Head, Axial view, Slice 91 of 155
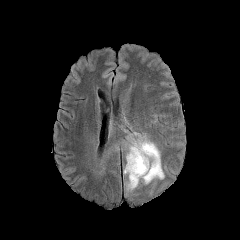
FLAIR MRI.
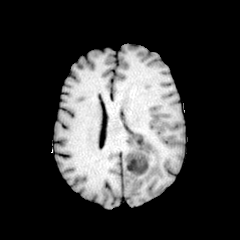
T1-weighted MR.
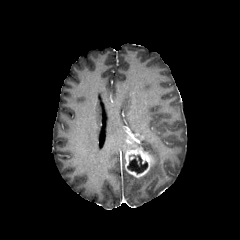
Post-contrast T1-weighted MRI.
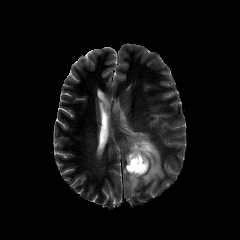
T2-weighted MR image of the same slice.
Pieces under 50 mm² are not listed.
The enhancing tumor is at x1=125 y1=134 x2=153 y2=177. The necrotic tumor core is bounded by x1=127 y1=155 x2=147 y2=173. The largest peritumoral edema region appears at x1=127 y1=132 x2=164 y2=189.